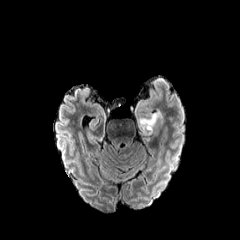
FLAIR magnetic resonance.
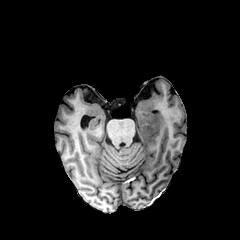
Same slice, T1-weighted MR.
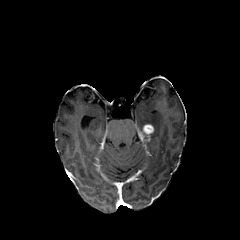
Post-contrast T1-weighted MR.
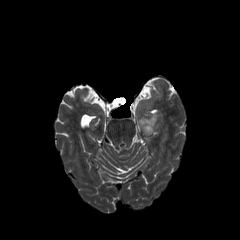
T2-weighted MRI.
Image size 240x240
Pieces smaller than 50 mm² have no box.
enhancing_tumor:
  - [139,124,153,141]
peritumoral_edema:
  - [138,113,162,132]